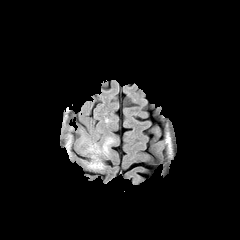
FLAIR MRI.
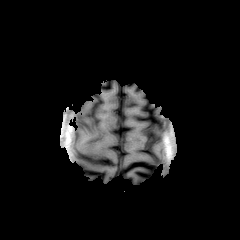
Same slice, T1-weighted magnetic resonance.
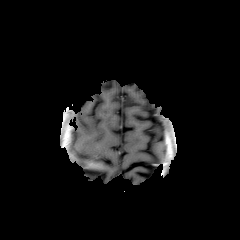
Post-contrast T1-weighted MR.
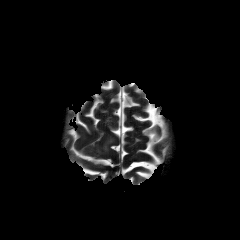
T2-weighted MR.
Brain | Axial view
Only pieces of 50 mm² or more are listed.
{"enhancing_tumor": ["box(88, 162, 101, 167)"], "peritumoral_edema": ["box(91, 155, 103, 168)", "box(88, 137, 113, 154)"]}